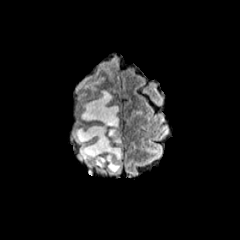
FLAIR MR image.
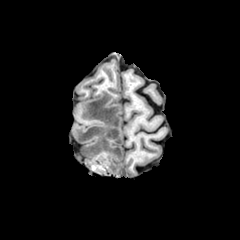
T1-weighted magnetic resonance.
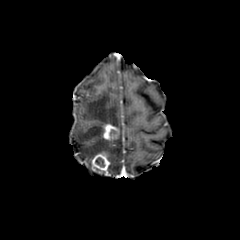
Post-contrast T1-weighted MR image.
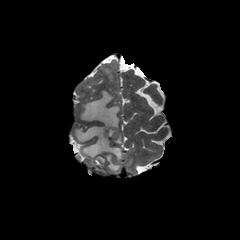
Same slice, T2-weighted magnetic resonance.
Image size 240x240; Axial plane
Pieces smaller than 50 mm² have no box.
peritumoral edema — <box>74,90,122,173</box>
enhancing tumor — <box>91,151,110,171</box>, <box>102,123,118,140</box>
necrotic tumor core — <box>95,157,104,166</box>